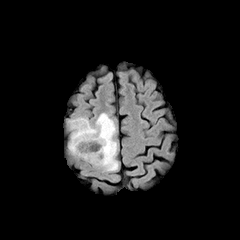
FLAIR MRI.
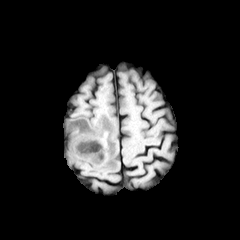
Same slice, T1-weighted MR image.
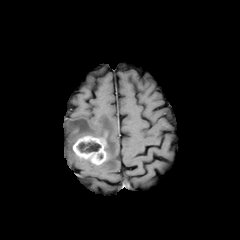
Post-contrast T1-weighted MRI of the same slice.
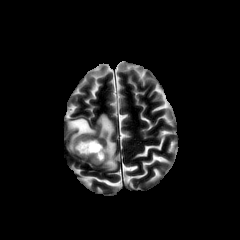
T2-weighted MR.
Axial view
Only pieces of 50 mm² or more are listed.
enhancing tumor: <box>73,135,108,165</box>
peritumoral edema: <box>67,113,118,171</box>
necrotic tumor core: <box>77,141,100,152</box>